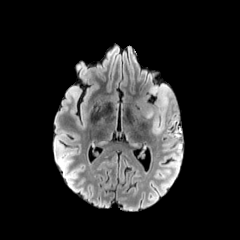
FLAIR MR image.
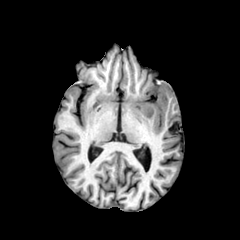
T1-weighted magnetic resonance of the same slice.
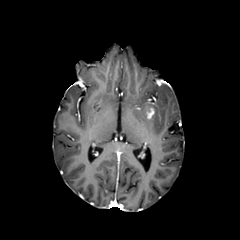
Post-contrast T1-weighted MR image.
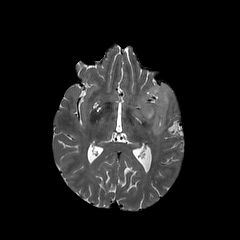
T2-weighted magnetic resonance.
Axial plane
{
  "peritumoral_edema": [
    "[142,84,171,133]"
  ],
  "enhancing_tumor": [
    "[146,107,154,118]"
  ]
}